Head, Axial view
FLAIR MRI.
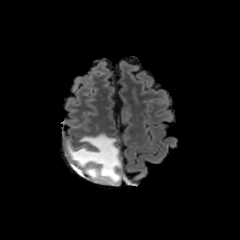
T1-weighted MR.
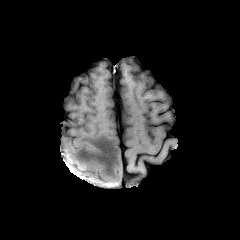
Post-contrast T1-weighted MRI.
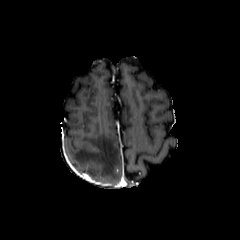
T2-weighted MR.
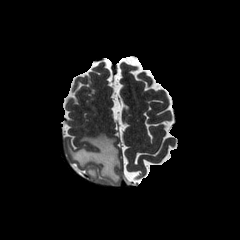
peritumoral edema: <bbox>67, 133, 122, 185</bbox>